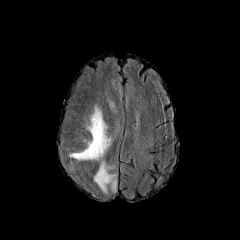
FLAIR MR image.
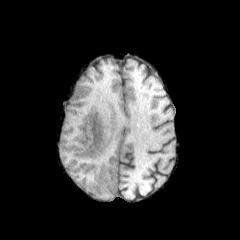
T1-weighted MRI.
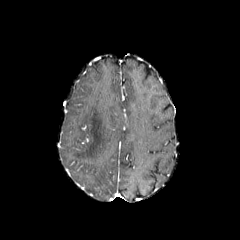
Same slice, post-contrast T1-weighted magnetic resonance.
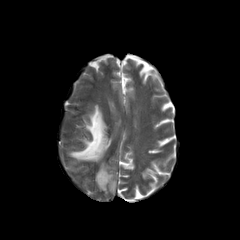
T2-weighted MRI.
Head. 240x240. Axial plane.
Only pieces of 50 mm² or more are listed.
<segmentation>
  <peritumoral_edema>[93, 161, 117, 193], [69, 105, 112, 160]</peritumoral_edema>
</segmentation>